FLAIR MRI.
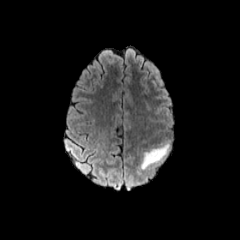
T1-weighted MR.
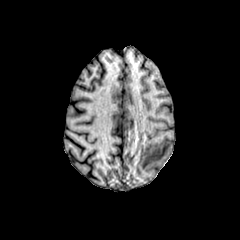
Post-contrast T1-weighted MR.
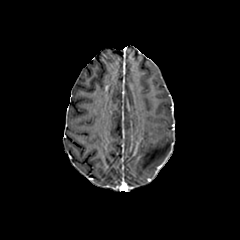
T2-weighted MR image.
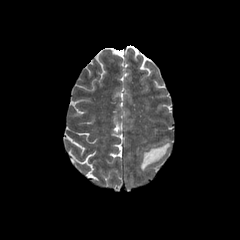
Image size 240x240; Brain
The peritumoral edema appears at region(140, 143, 169, 169).